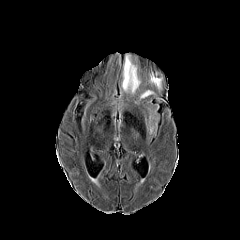
FLAIR MR.
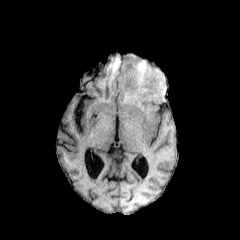
T1-weighted MR.
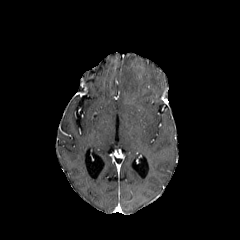
Post-contrast T1-weighted MR image.
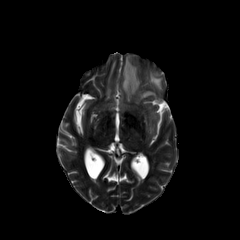
T2-weighted MR of the same slice.
peritumoral edema = <box>149,72,162,90</box>, <box>139,90,153,99</box>, <box>122,54,140,95</box>